Axial slice, Head, 240x240
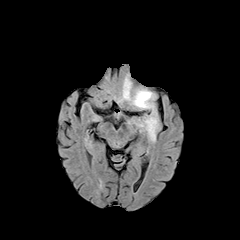
FLAIR MR image.
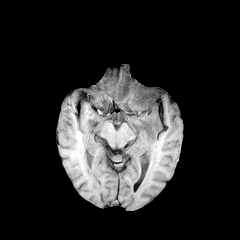
Same slice, T1-weighted MR.
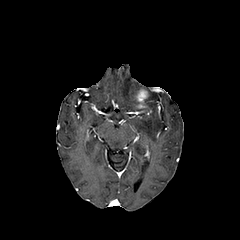
Same slice, post-contrast T1-weighted MRI.
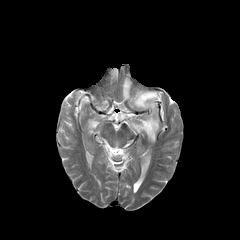
T2-weighted MR image of the same slice.
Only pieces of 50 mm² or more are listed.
The enhancing tumor is at (left=136, top=89, right=148, bottom=108). The 2 largest peritumoral edema regions are bounded by (left=137, top=91, right=158, bottom=141), (left=123, top=77, right=137, bottom=107).